FLAIR magnetic resonance.
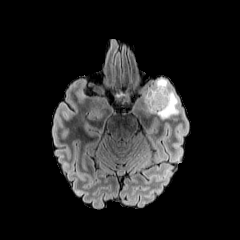
T1-weighted MRI.
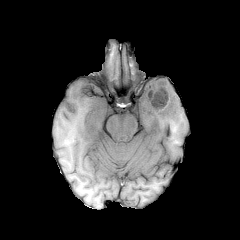
Post-contrast T1-weighted magnetic resonance.
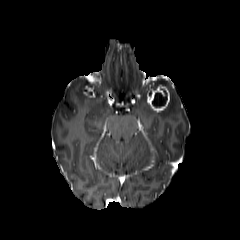
T2-weighted magnetic resonance.
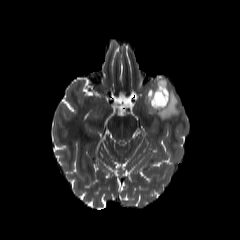
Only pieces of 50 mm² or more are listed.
necrotic tumor core — box(152, 88, 167, 107)
peritumoral edema — box(144, 78, 179, 119)
enhancing tumor — box(147, 85, 170, 112)